FLAIR MRI.
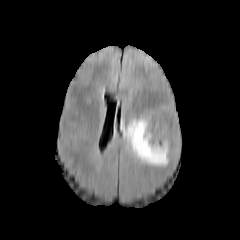
T1-weighted MR.
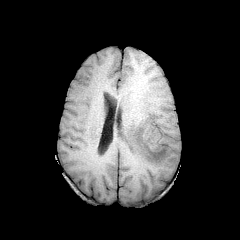
Post-contrast T1-weighted MR image.
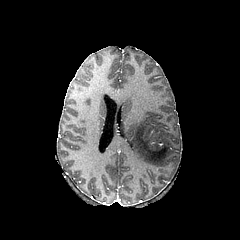
T2-weighted MR.
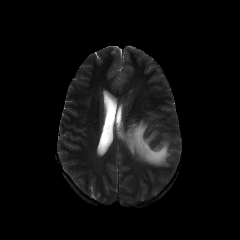
Axial view | Brain
The peritumoral edema lies within <box>123,118,169,166</box>.